FLAIR magnetic resonance.
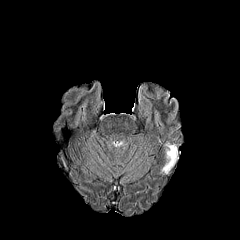
T1-weighted magnetic resonance.
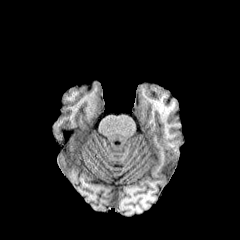
Post-contrast T1-weighted MRI.
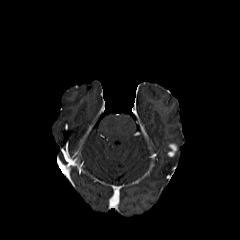
T2-weighted MR.
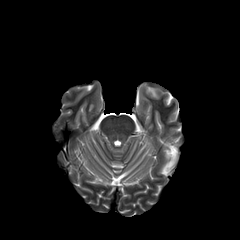
Brain. Axial slice.
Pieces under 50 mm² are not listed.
<segmentation>
  <enhancing_tumor>(left=167, top=143, right=177, bottom=157)</enhancing_tumor>
  <peritumoral_edema>(left=161, top=142, right=178, bottom=173)</peritumoral_edema>
</segmentation>